FLAIR MR image.
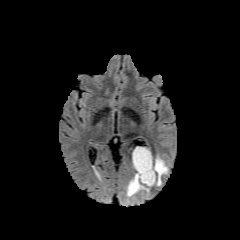
T1-weighted MR.
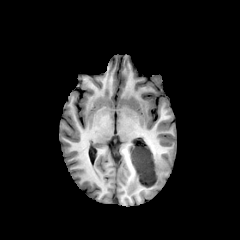
Post-contrast T1-weighted magnetic resonance.
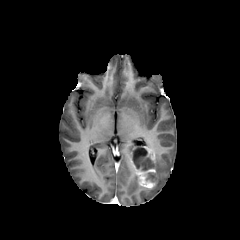
T2-weighted MR.
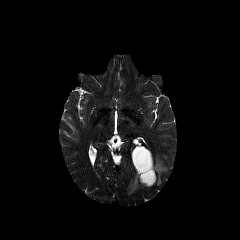
Image size 240x240, Axial view, Head
peritumoral edema: bounding box box=[126, 172, 149, 196]; box=[154, 155, 167, 185]
enhancing tumor: bounding box box=[137, 146, 154, 162]; box=[131, 153, 155, 187]
necrotic tumor core: bounding box box=[146, 173, 154, 181]; box=[132, 147, 153, 170]